FLAIR MR image.
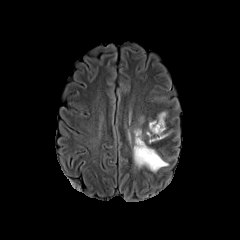
T1-weighted magnetic resonance.
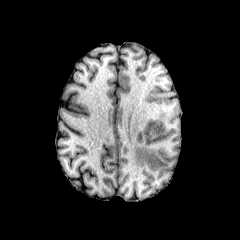
Post-contrast T1-weighted magnetic resonance.
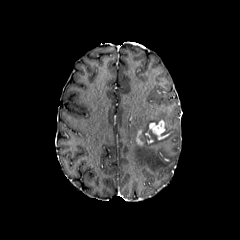
T2-weighted MRI.
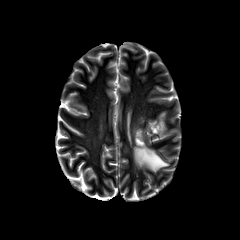
Axial slice, Brain, 240x240
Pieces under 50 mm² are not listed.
peritumoral_edema:
  - region(133, 128, 168, 172)
  - region(151, 112, 166, 123)
enhancing_tumor:
  - region(136, 130, 143, 145)
  - region(149, 120, 164, 135)